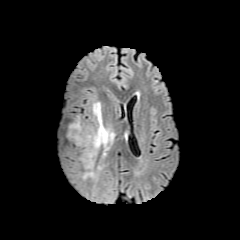
FLAIR MRI.
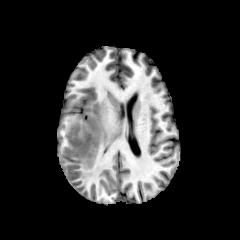
Same slice, T1-weighted magnetic resonance.
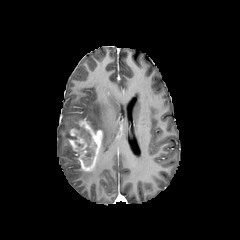
Post-contrast T1-weighted magnetic resonance of the same slice.
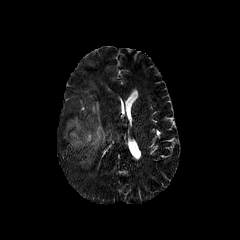
T2-weighted MR image of the same slice.
Axial view | Brain
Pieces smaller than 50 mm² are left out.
peritumoral edema: 69 116 80 128, 83 169 99 180, 91 101 114 170 | necrotic tumor core: 82 147 94 165, 80 128 90 141 | enhancing tumor: 69 119 102 170